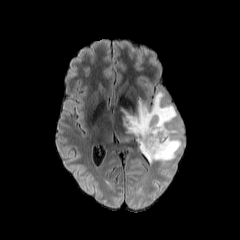
FLAIR MR image.
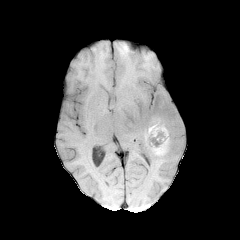
T1-weighted MRI of the same slice.
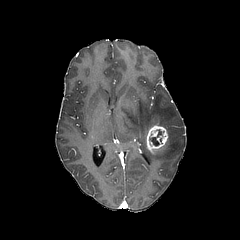
Post-contrast T1-weighted MR of the same slice.
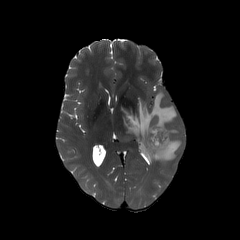
Same slice, T2-weighted MR.
Image size 240x240. Brain. Axial slice.
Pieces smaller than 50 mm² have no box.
peritumoral_edema:
  - (left=124, top=92, right=184, bottom=162)
enhancing_tumor:
  - (left=146, top=125, right=168, bottom=153)
necrotic_tumor_core:
  - (left=149, top=137, right=159, bottom=145)